Slice 134 of 155 | Axial plane | Image size 240x240
FLAIR MR.
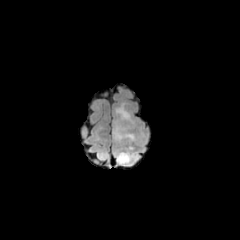
T1-weighted MRI.
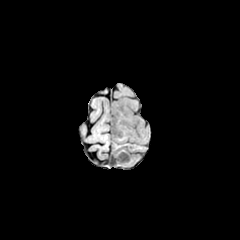
Post-contrast T1-weighted MR.
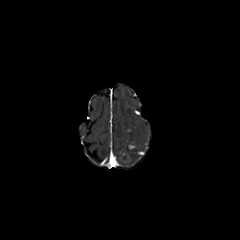
T2-weighted magnetic resonance.
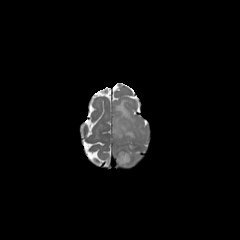
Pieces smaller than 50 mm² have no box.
peritumoral edema at 113, 102, 145, 145; 114, 147, 138, 165
enhancing tumor at 119, 152, 130, 162